240x240 px | Image width 240 mm, 1.00 mm slice spacing | Head | Slice index 66
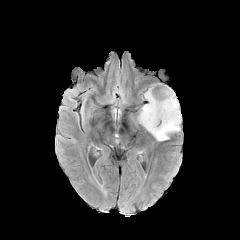
FLAIR MR image.
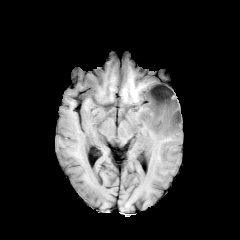
T1-weighted magnetic resonance.
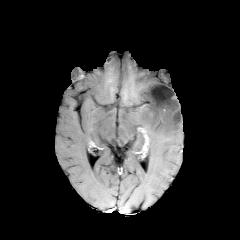
Post-contrast T1-weighted MR.
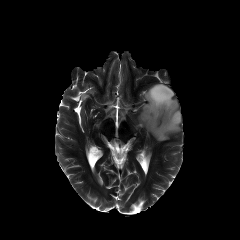
T2-weighted MR of the same slice.
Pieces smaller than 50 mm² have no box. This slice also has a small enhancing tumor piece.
Findings:
* peritumoral edema: l=138, t=84, r=181, b=141
* necrotic tumor core: l=149, t=84, r=175, b=112